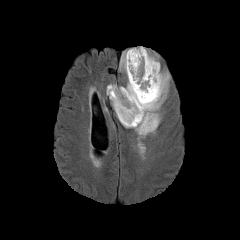
FLAIR MR image.
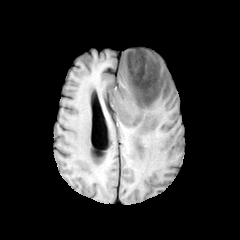
T1-weighted MRI.
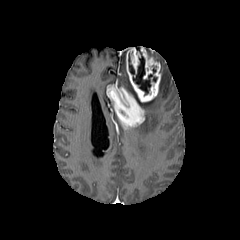
Post-contrast T1-weighted magnetic resonance of the same slice.
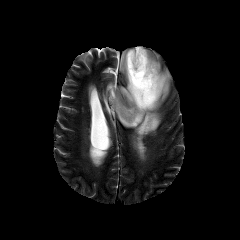
T2-weighted MR.
Head
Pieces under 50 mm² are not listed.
necrotic tumor core: bounding box left=128, top=47, right=157, bottom=94
peritumoral edema: bounding box left=128, top=70, right=170, bottom=139; left=120, top=51, right=132, bottom=91
enhancing tumor: bounding box left=106, top=46, right=161, bottom=127